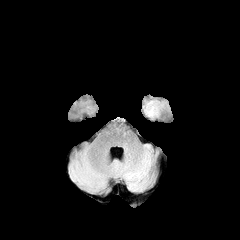
FLAIR MR image.
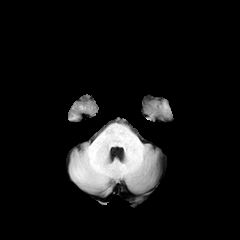
T1-weighted MRI.
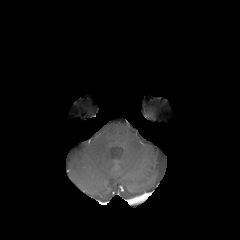
Post-contrast T1-weighted MR image.
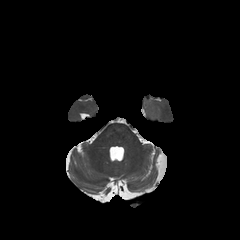
T2-weighted MRI.
Axial slice. Brain.
{
  "peritumoral_edema": [
    {"x1": 143, "y1": 101, "x2": 160, "y2": 118}
  ]
}